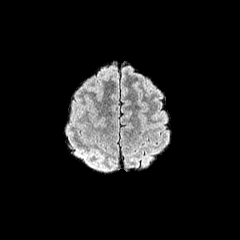
FLAIR MR image.
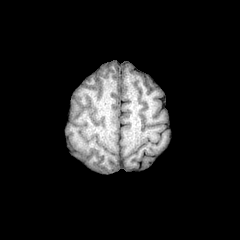
T1-weighted MRI of the same slice.
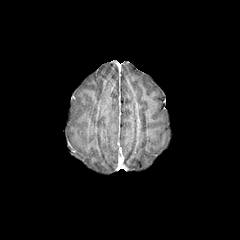
Same slice, post-contrast T1-weighted MR.
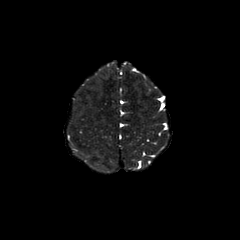
T2-weighted MR of the same slice.
Axial slice
{
  "peritumoral_edema": [
    "bbox(84, 70, 108, 90)"
  ]
}